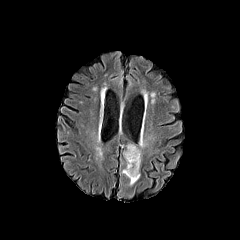
FLAIR magnetic resonance.
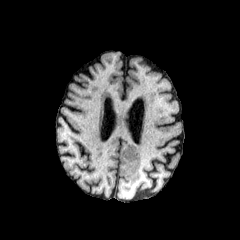
Same slice, T1-weighted magnetic resonance.
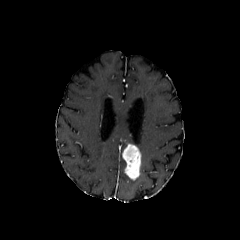
Post-contrast T1-weighted MR image of the same slice.
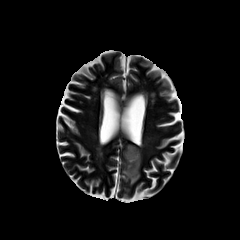
T2-weighted MRI.
Head | 240x240
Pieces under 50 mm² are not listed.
peritumoral edema: (x1=139, y1=139, x2=146, y2=153) | enhancing tumor: (x1=122, y1=144, x2=141, y2=180)